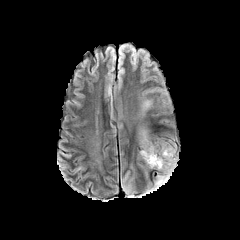
FLAIR magnetic resonance.
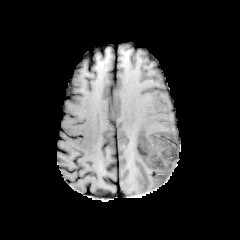
T1-weighted MR.
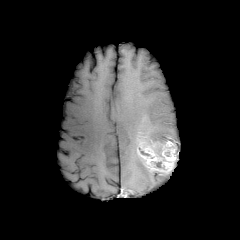
Same slice, post-contrast T1-weighted MRI.
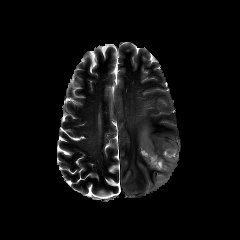
T2-weighted MR.
Brain | 240x240
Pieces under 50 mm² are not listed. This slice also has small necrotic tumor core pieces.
The largest peritumoral edema region appears at box(155, 172, 171, 186). The enhancing tumor appears at box(138, 139, 178, 176).